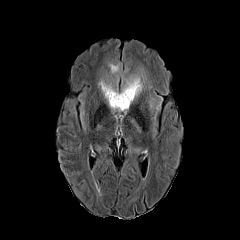
FLAIR MR.
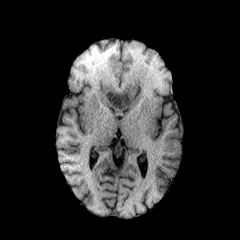
T1-weighted magnetic resonance.
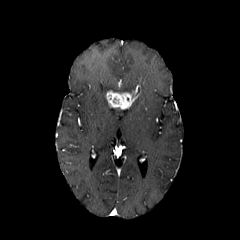
Post-contrast T1-weighted MR image.
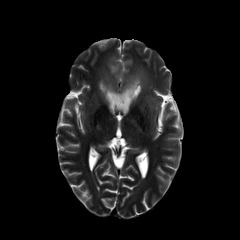
T2-weighted magnetic resonance.
240x240 px; Axial view
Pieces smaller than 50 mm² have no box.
The 3 largest peritumoral edema regions are bounded by l=122, t=75, r=142, b=95; l=99, t=80, r=117, b=96; l=108, t=63, r=119, b=73. The enhancing tumor is bounded by l=106, t=85, r=138, b=109.